Axial slice.
FLAIR MR.
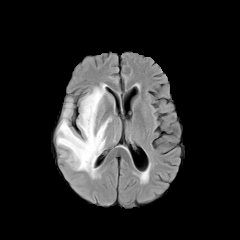
T1-weighted MR image.
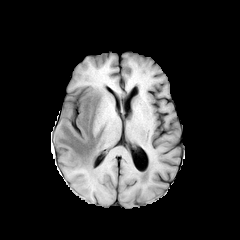
Post-contrast T1-weighted MR.
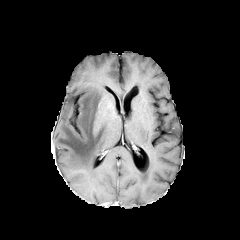
T2-weighted MR.
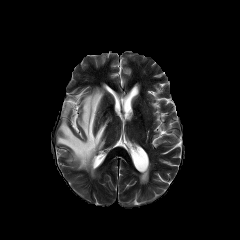
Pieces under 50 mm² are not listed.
Annotated regions:
• peritumoral edema: region(56, 84, 111, 177)